FLAIR MR.
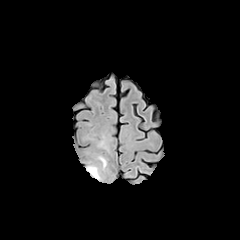
T1-weighted MRI.
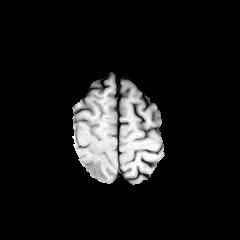
Post-contrast T1-weighted MR.
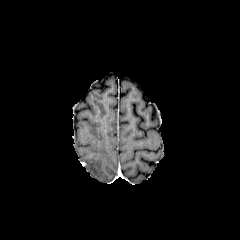
T2-weighted magnetic resonance.
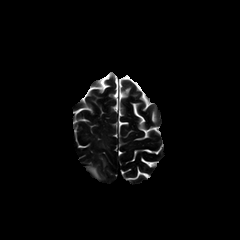
Head | 240x240 px
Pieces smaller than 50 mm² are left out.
The largest peritumoral edema region lies within [x1=86, y1=165, x2=102, y2=179].